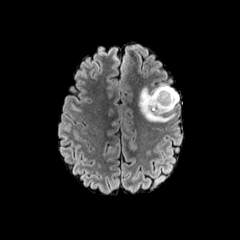
FLAIR MR.
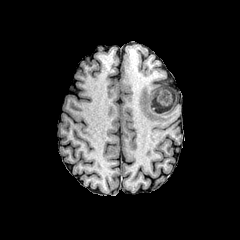
Same slice, T1-weighted MR image.
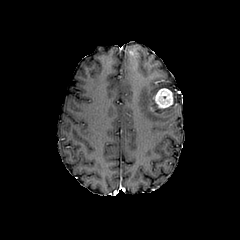
Same slice, post-contrast T1-weighted MR image.
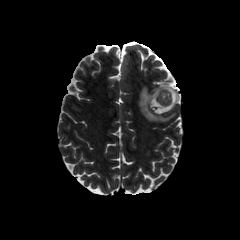
Same slice, T2-weighted MRI.
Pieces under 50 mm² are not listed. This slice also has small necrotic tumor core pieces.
Findings:
- enhancing tumor: <bbox>148, 88, 176, 116</bbox>
- peritumoral edema: <bbox>138, 77, 178, 123</bbox>